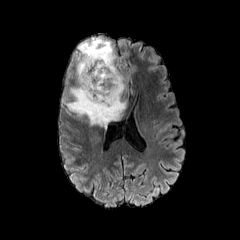
FLAIR magnetic resonance.
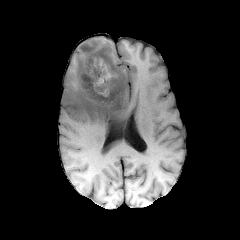
Same slice, T1-weighted magnetic resonance.
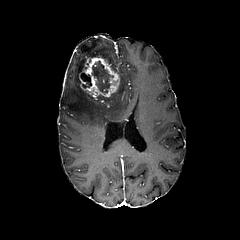
Same slice, post-contrast T1-weighted MRI.
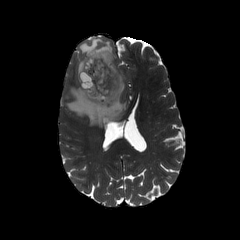
T2-weighted MRI of the same slice.
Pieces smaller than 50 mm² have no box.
The 2 largest necrotic tumor core regions appear at region(91, 61, 113, 93); region(81, 73, 91, 87). The largest enhancing tumor region is at region(79, 56, 119, 100). The peritumoral edema appears at region(62, 37, 126, 127).